FLAIR MR.
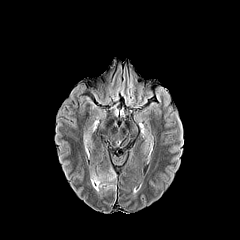
T1-weighted MR.
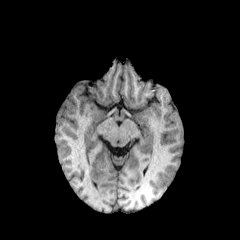
Post-contrast T1-weighted magnetic resonance.
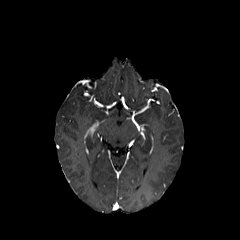
T2-weighted MR.
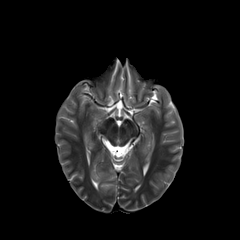
Head. Axial view.
peritumoral edema = 90, 169, 116, 191